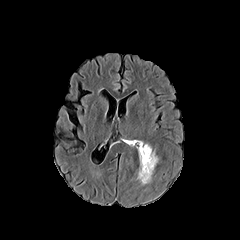
FLAIR MR.
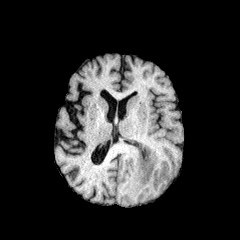
T1-weighted MR image.
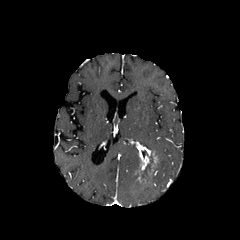
Post-contrast T1-weighted MR image.
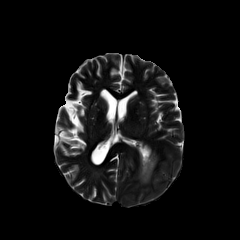
T2-weighted MRI of the same slice.
Axial plane. Head.
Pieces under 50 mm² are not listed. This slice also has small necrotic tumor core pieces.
<segmentation>
  <enhancing_tumor>(136, 143, 157, 173)</enhancing_tumor>
  <peritumoral_edema>(138, 167, 151, 184)</peritumoral_edema>
</segmentation>